240x240, Slice 93/155
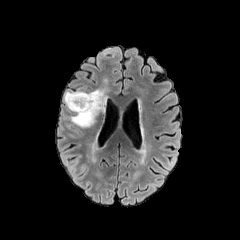
FLAIR MR.
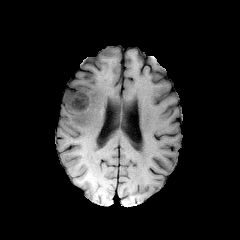
T1-weighted MR.
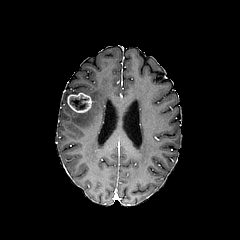
Post-contrast T1-weighted magnetic resonance of the same slice.
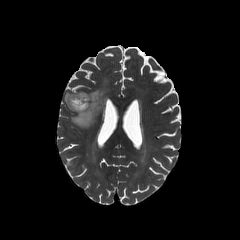
T2-weighted MR image of the same slice.
{"peritumoral_edema": ["[64,89,106,127]"], "enhancing_tumor": ["[67,92,93,113]"], "necrotic_tumor_core": ["[70,98,86,109]"]}